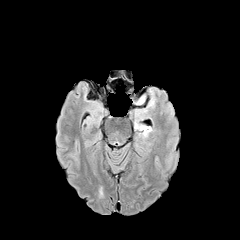
FLAIR magnetic resonance.
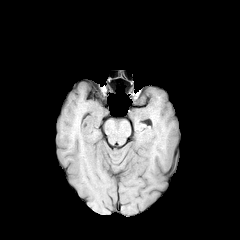
T1-weighted MR of the same slice.
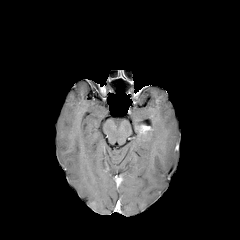
Post-contrast T1-weighted magnetic resonance.
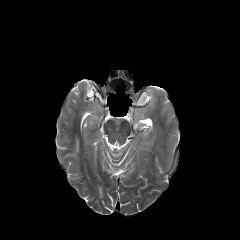
T2-weighted MR image.
Axial slice.
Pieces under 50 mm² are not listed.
{
  "peritumoral_edema": [
    "139:128:153:142"
  ],
  "enhancing_tumor": [
    "140:125:150:133"
  ]
}